Brain, Slice index 100
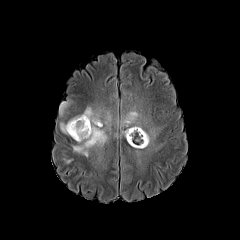
FLAIR MRI.
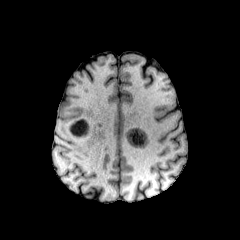
Same slice, T1-weighted magnetic resonance.
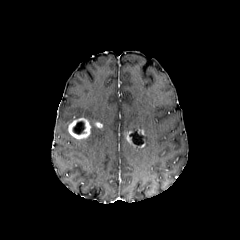
Same slice, post-contrast T1-weighted MRI.
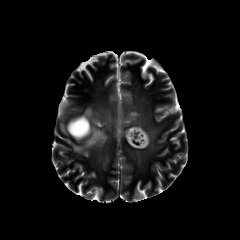
Same slice, T2-weighted MRI.
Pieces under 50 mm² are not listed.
The 2 largest enhancing tumor regions appear at [x1=125, y1=128, x2=145, y2=147], [x1=67, y1=117, x2=91, y2=140]. The 4 largest peritumoral edema regions are bounded by [x1=60, y1=107, x2=111, y2=156], [x1=60, y1=102, x2=69, y2=115], [x1=121, y1=110, x2=141, y2=135], [x1=144, y1=129, x2=156, y2=147]. 2 necrotic tumor core regions are bounded by [x1=129, y1=131, x2=144, y2=145], [x1=73, y1=121, x2=84, y2=134].